Head
FLAIR MR image.
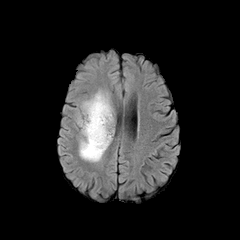
T1-weighted MR.
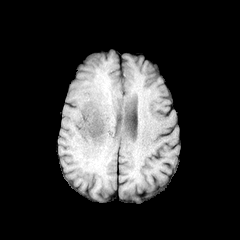
Post-contrast T1-weighted magnetic resonance.
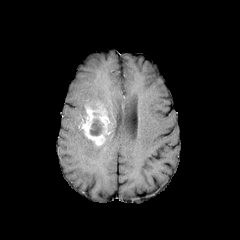
T2-weighted MRI.
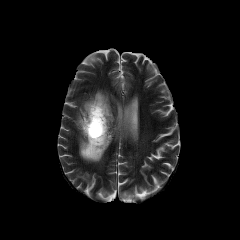
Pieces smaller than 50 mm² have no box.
necrotic tumor core: bounding box [x1=90, y1=119, x2=102, y2=135]
enhancing tumor: bounding box [x1=79, y1=102, x2=110, y2=146]
peritumoral edema: bounding box [x1=79, y1=91, x2=113, y2=161]